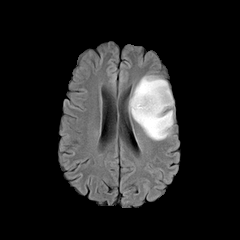
FLAIR MR image.
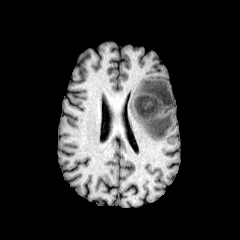
Same slice, T1-weighted magnetic resonance.
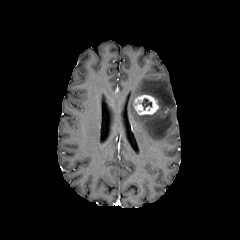
Post-contrast T1-weighted MR image of the same slice.
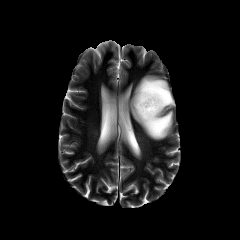
T2-weighted magnetic resonance of the same slice.
peritumoral edema at (left=129, top=76, right=173, bottom=140)
necrotic tumor core at (left=142, top=98, right=151, bottom=109)
enhancing tumor at (left=133, top=94, right=159, bottom=115)